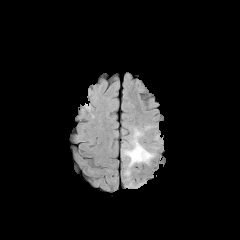
FLAIR MR.
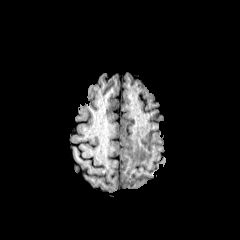
Same slice, T1-weighted MR.
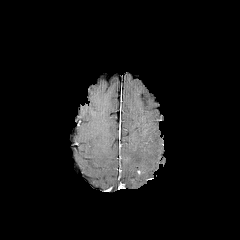
Post-contrast T1-weighted MR image.
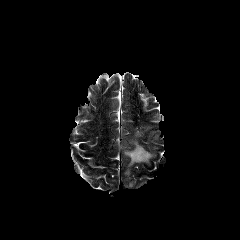
T2-weighted MR image of the same slice.
Head
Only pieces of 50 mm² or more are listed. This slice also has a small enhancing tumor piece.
The largest peritumoral edema region appears at 123, 129, 154, 167.